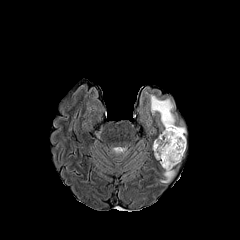
FLAIR MRI.
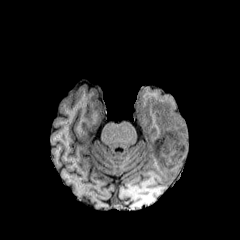
T1-weighted magnetic resonance.
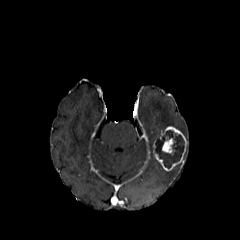
Post-contrast T1-weighted MRI.
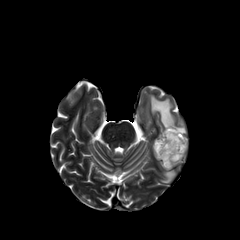
T2-weighted MR.
240x240, Head
Segmented structures:
- enhancing tumor: [153, 126, 186, 170], [162, 136, 175, 154]
- peritumoral edema: [159, 168, 176, 183], [149, 94, 187, 134]
- necrotic tumor core: [155, 130, 184, 168]